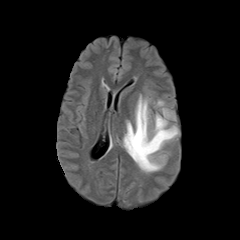
FLAIR magnetic resonance.
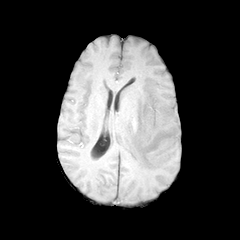
T1-weighted MRI of the same slice.
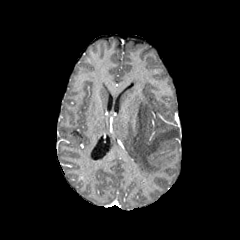
Same slice, post-contrast T1-weighted MR.
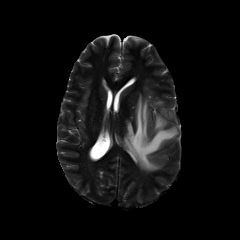
Same slice, T2-weighted MR image.
Brain | Axial plane
peritumoral edema: bounding box 123 93 179 172